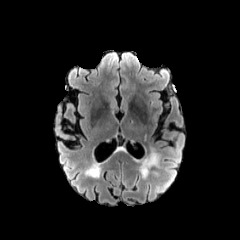
FLAIR magnetic resonance.
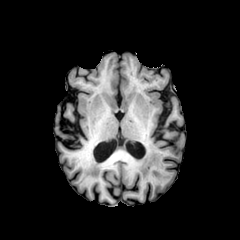
T1-weighted MR image.
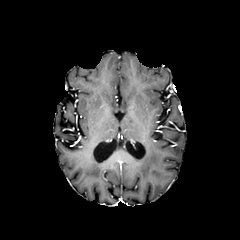
Post-contrast T1-weighted MRI.
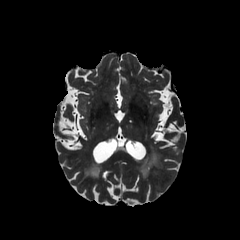
T2-weighted MR image.
240x240 px.
peritumoral_edema:
  - {"x1": 138, "y1": 147, "x2": 161, "y2": 178}